FLAIR MR image.
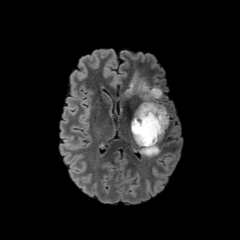
T1-weighted MR image.
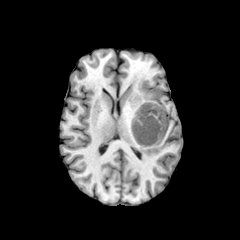
Post-contrast T1-weighted MR.
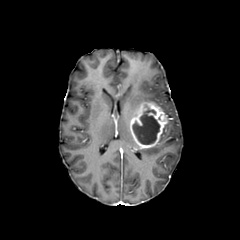
T2-weighted MR image.
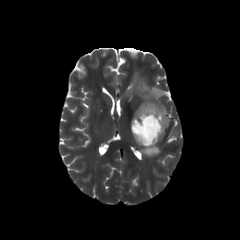
Axial slice | Head
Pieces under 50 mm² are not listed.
<segmentation>
  <enhancing_tumor>(130,102,168,148)</enhancing_tumor>
  <peritumoral_edema>(124,72,167,114), (140,144,160,156), (159,115,169,141)</peritumoral_edema>
  <necrotic_tumor_core>(133,108,160,144)</necrotic_tumor_core>
</segmentation>